FLAIR MR.
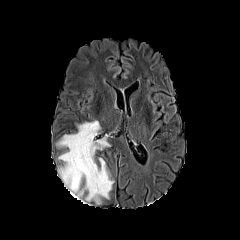
T1-weighted MR image.
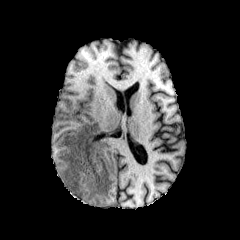
Post-contrast T1-weighted magnetic resonance.
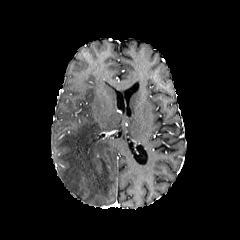
T2-weighted magnetic resonance.
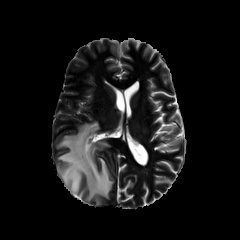
Brain
The peritumoral edema lies within [57, 120, 114, 204].